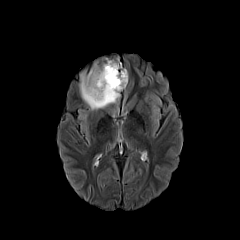
FLAIR MRI.
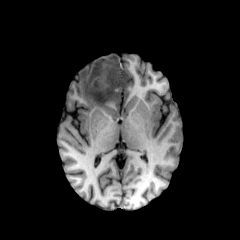
T1-weighted magnetic resonance.
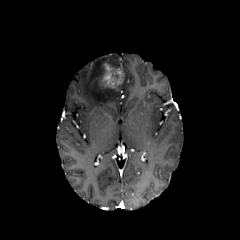
Post-contrast T1-weighted MR image of the same slice.
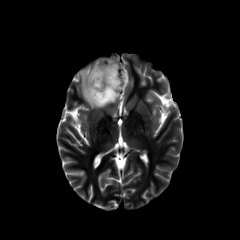
T2-weighted MRI.
Axial view, 240x240
{"enhancing_tumor": ["left=101, top=64, right=124, bottom=88"], "peritumoral_edema": ["left=79, top=57, right=128, bottom=110"]}